Head. 240x240. Image width 240 mm, 1.00 mm slice spacing.
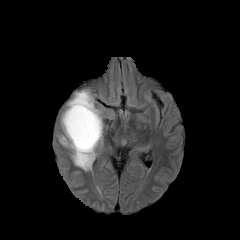
FLAIR MR image.
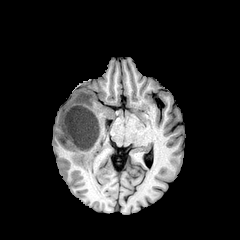
T1-weighted magnetic resonance of the same slice.
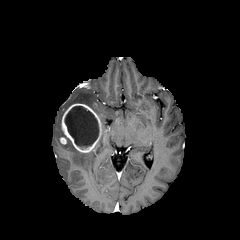
Post-contrast T1-weighted MR of the same slice.
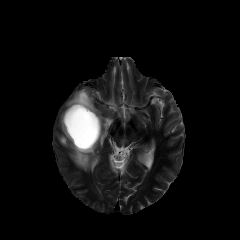
T2-weighted MRI.
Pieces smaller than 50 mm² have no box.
The necrotic tumor core lies within left=65, top=106, right=98, bottom=147. The 2 largest peritumoral edema regions appear at left=64, top=133, right=102, bottom=170; left=67, top=90, right=103, bottom=128. The enhancing tumor appears at left=60, top=103, right=102, bottom=152.